FLAIR MRI.
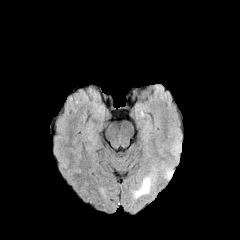
T1-weighted magnetic resonance.
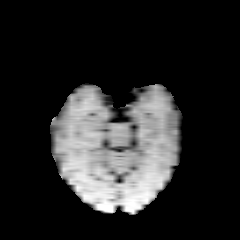
Post-contrast T1-weighted MR.
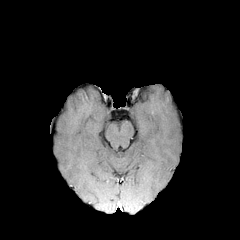
T2-weighted MR image.
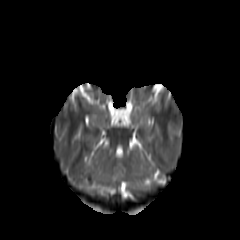
Image size 240x240, Head
Annotated regions:
* peritumoral edema: bbox(133, 172, 157, 198)